FLAIR MR.
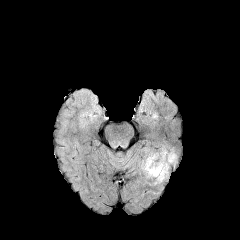
T1-weighted MRI.
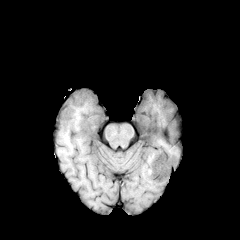
Post-contrast T1-weighted MR image.
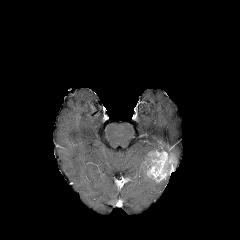
T2-weighted MR.
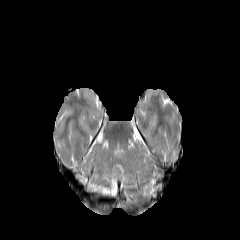
Axial plane. 240x240.
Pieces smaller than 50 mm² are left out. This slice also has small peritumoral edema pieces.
{"enhancing_tumor": ["144, 151, 176, 183"]}